FLAIR MR.
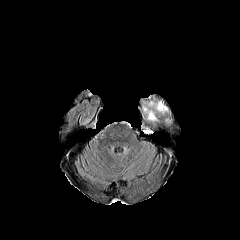
T1-weighted MR.
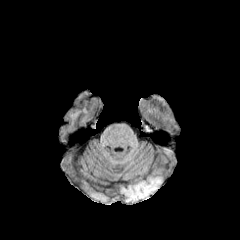
Post-contrast T1-weighted MRI.
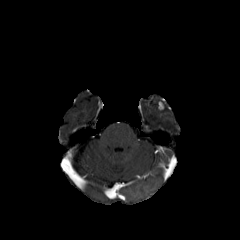
T2-weighted MR image.
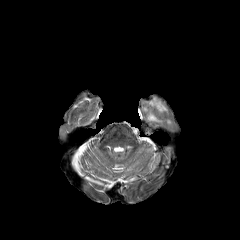
Axial plane
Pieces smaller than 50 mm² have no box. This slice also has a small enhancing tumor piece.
Annotated regions:
• peritumoral edema: <box>142,101,158,121</box>, <box>148,101,168,114</box>